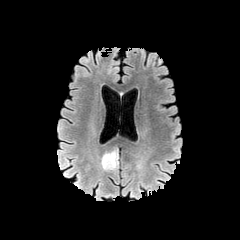
FLAIR MRI.
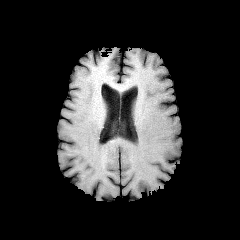
Same slice, T1-weighted MRI.
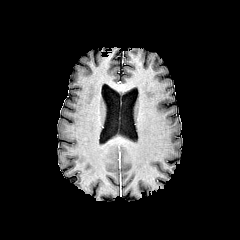
Post-contrast T1-weighted magnetic resonance.
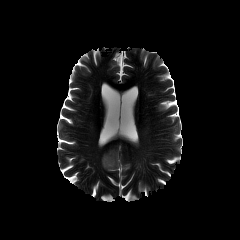
T2-weighted MRI of the same slice.
Axial slice; Head
The peritumoral edema is at [101, 149, 118, 170].